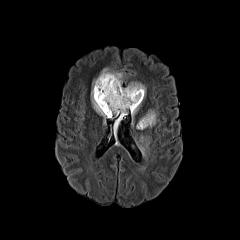
FLAIR MRI.
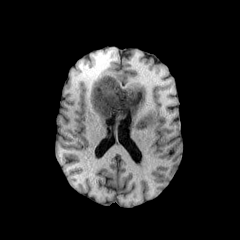
Same slice, T1-weighted MR image.
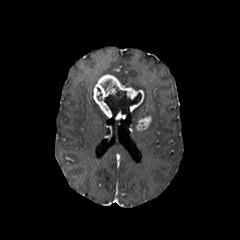
Post-contrast T1-weighted MRI of the same slice.
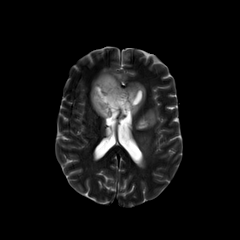
T2-weighted MRI.
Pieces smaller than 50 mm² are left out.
3 enhancing tumor regions are located at {"x1": 93, "y1": 74, "x2": 144, "y2": 117}, {"x1": 136, "y1": 115, "x2": 151, "y2": 130}, {"x1": 115, "y1": 111, "x2": 125, "y2": 119}. The 4 largest peritumoral edema regions are located at {"x1": 127, "y1": 82, "x2": 145, "y2": 94}, {"x1": 145, "y1": 110, "x2": 157, "y2": 127}, {"x1": 91, "y1": 68, "x2": 123, "y2": 124}, {"x1": 139, "y1": 136, "x2": 149, "y2": 151}. The largest necrotic tumor core region is at {"x1": 104, "y1": 87, "x2": 141, "y2": 117}.